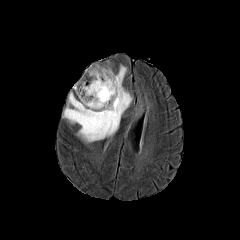
FLAIR magnetic resonance.
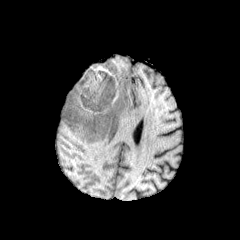
T1-weighted MR image.
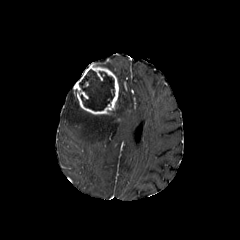
Post-contrast T1-weighted MRI of the same slice.
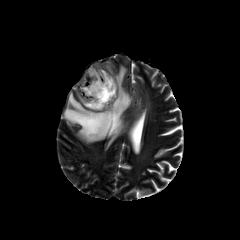
T2-weighted MRI of the same slice.
Image size 240x240, Head, Axial plane
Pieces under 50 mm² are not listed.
necrotic tumor core = 79, 69, 114, 110
enhancing tumor = 73, 63, 118, 114
peritumoral edema = 62, 65, 133, 143